FLAIR MR image.
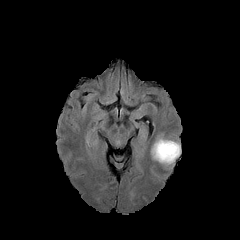
T1-weighted magnetic resonance.
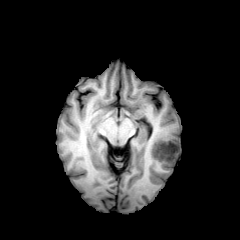
Post-contrast T1-weighted magnetic resonance.
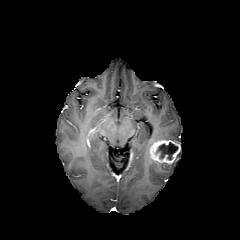
T2-weighted MRI.
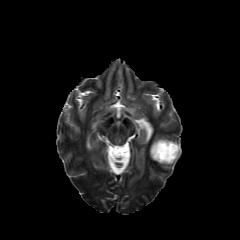
Axial view; 240x240 px
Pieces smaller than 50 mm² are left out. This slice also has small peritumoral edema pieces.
enhancing tumor: bounding box (left=150, top=140, right=180, bottom=164)
necrotic tumor core: bounding box (left=157, top=142, right=177, bottom=159)